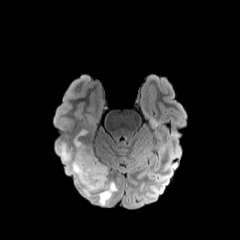
FLAIR MR.
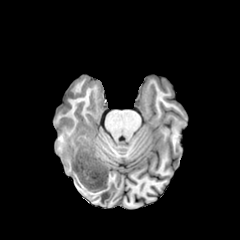
T1-weighted MR image of the same slice.
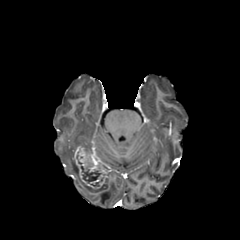
Post-contrast T1-weighted magnetic resonance of the same slice.
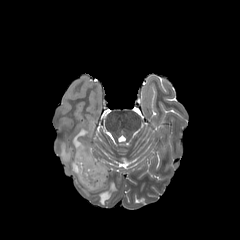
T2-weighted MR of the same slice.
Head. Image size 240x240. Axial slice.
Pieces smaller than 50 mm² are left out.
Findings:
* peritumoral edema: [57,129,117,204]
* necrotic tumor core: [81,162,101,182]
* enhancing tumor: [74,146,107,189]